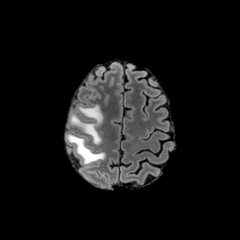
FLAIR MR image.
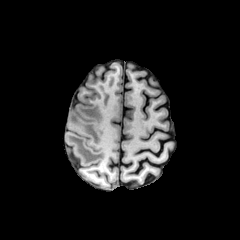
T1-weighted magnetic resonance.
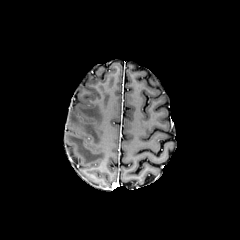
Post-contrast T1-weighted MR.
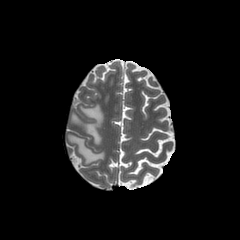
T2-weighted MR of the same slice.
Brain; 240x240
peritumoral edema: bounding box (70, 105, 103, 144), (66, 134, 105, 164)